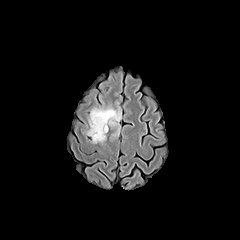
FLAIR MRI.
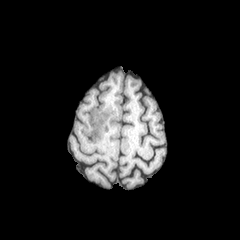
T1-weighted MR image.
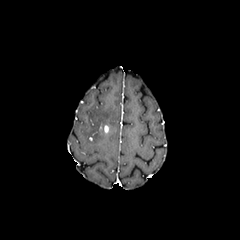
Post-contrast T1-weighted MR of the same slice.
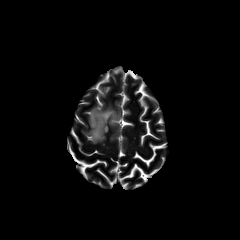
Same slice, T2-weighted magnetic resonance.
Brain | 240x240
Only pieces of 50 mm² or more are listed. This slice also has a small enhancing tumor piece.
peritumoral edema = region(87, 106, 121, 143)